Axial plane.
FLAIR MRI.
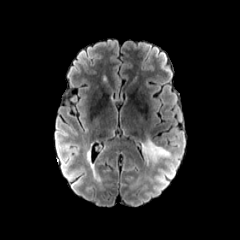
T1-weighted magnetic resonance.
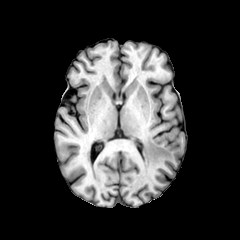
Post-contrast T1-weighted magnetic resonance.
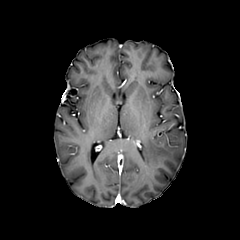
T2-weighted magnetic resonance.
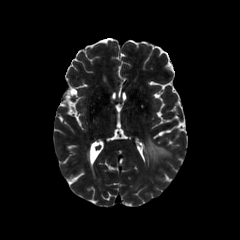
<segmentation>
  <peritumoral_edema>[142, 139, 171, 162]</peritumoral_edema>
</segmentation>